Brain | 240x240
FLAIR MR.
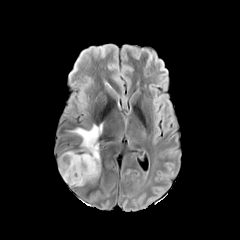
T1-weighted MR.
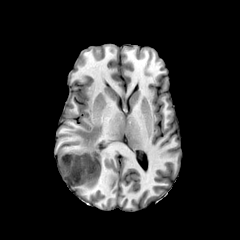
Post-contrast T1-weighted MRI.
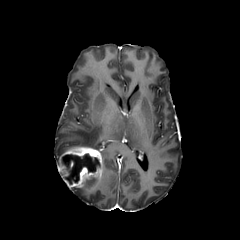
T2-weighted MR image.
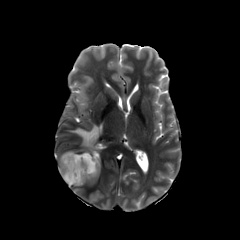
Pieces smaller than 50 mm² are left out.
{"peritumoral_edema": ["(left=69, top=124, right=102, bottom=150)"], "enhancing_tumor": ["(left=58, top=146, right=101, bottom=188)"], "necrotic_tumor_core": ["(left=61, top=153, right=100, bottom=184)"]}